FLAIR MR image.
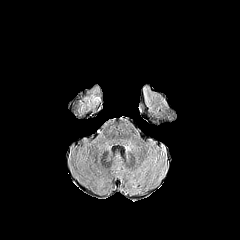
T1-weighted MR.
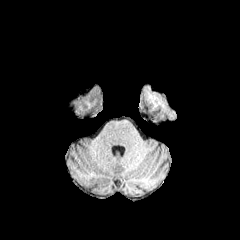
Post-contrast T1-weighted MR image.
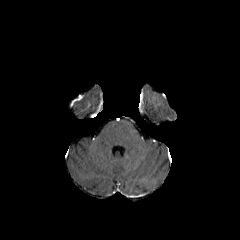
T2-weighted MR image.
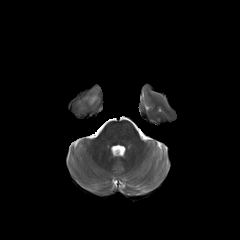
Image size 240x240; Brain; Axial plane
{"peritumoral_edema": ["x1=88, y1=95, x2=98, y2=102"]}